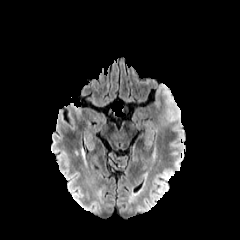
FLAIR magnetic resonance.
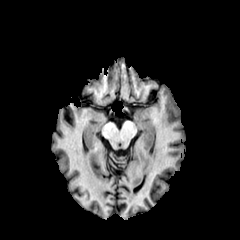
T1-weighted MRI.
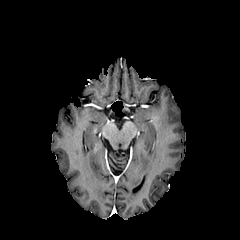
Post-contrast T1-weighted MRI.
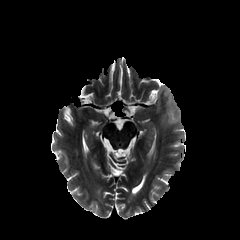
Same slice, T2-weighted magnetic resonance.
Axial plane | 240x240 px | Head
peritumoral edema = [160, 88, 179, 123]